FLAIR MR.
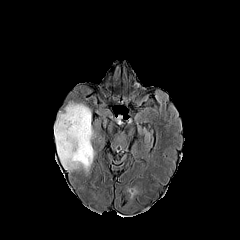
T1-weighted MR image.
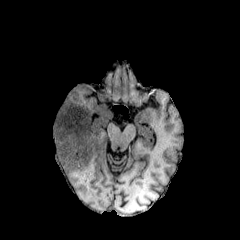
Post-contrast T1-weighted magnetic resonance.
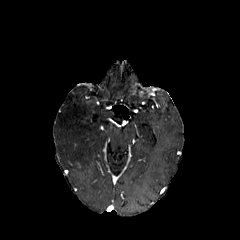
T2-weighted magnetic resonance.
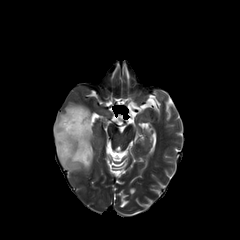
Axial view.
The peritumoral edema appears at box=[54, 102, 93, 171].